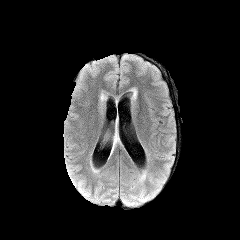
FLAIR MR image.
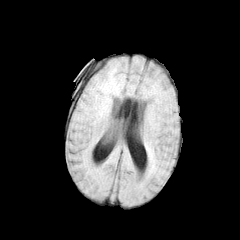
T1-weighted MR image.
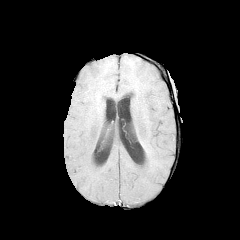
Post-contrast T1-weighted MRI of the same slice.
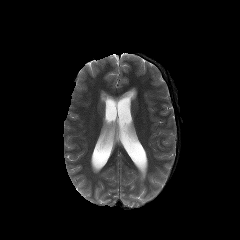
T2-weighted MR image of the same slice.
Brain. Axial plane. Image size 240x240.
* peritumoral edema: (x1=110, y1=124, x2=121, y2=155)